FLAIR MR image.
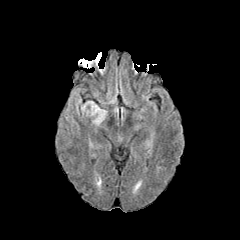
T1-weighted MR image.
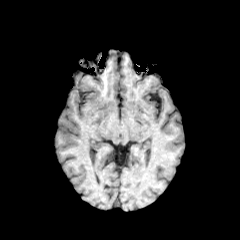
Post-contrast T1-weighted MR image.
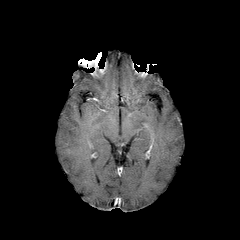
T2-weighted MR image.
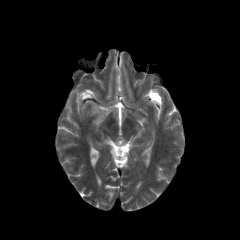
Brain.
- peritumoral edema: left=75, top=98, right=81, bottom=114; left=81, top=101, right=107, bottom=126